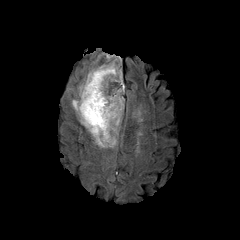
FLAIR magnetic resonance.
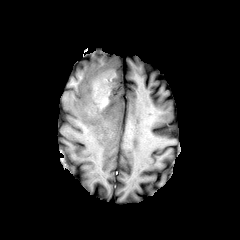
T1-weighted MR.
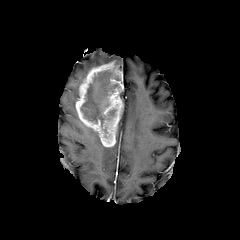
Post-contrast T1-weighted MR image.
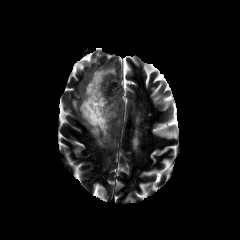
Same slice, T2-weighted magnetic resonance.
Head
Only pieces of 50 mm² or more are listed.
necrotic_tumor_core:
  - (81, 71, 119, 127)
enhancing_tumor:
  - (75, 61, 124, 146)
peritumoral_edema:
  - (71, 87, 78, 113)
  - (84, 125, 116, 147)